FLAIR MR.
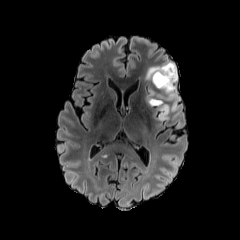
T1-weighted magnetic resonance.
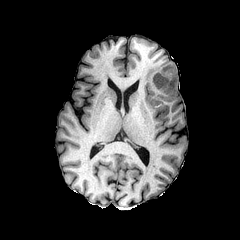
Post-contrast T1-weighted MR.
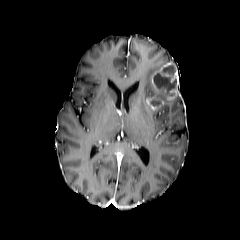
T2-weighted magnetic resonance.
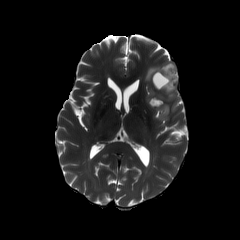
Brain
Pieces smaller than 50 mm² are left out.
enhancing tumor = (146, 97, 165, 110), (151, 62, 178, 101)
necrotic tumor core = (154, 73, 176, 91), (162, 65, 175, 74)
peritumoral edema = (144, 60, 180, 120)